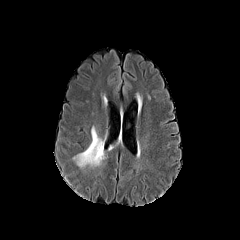
FLAIR MR.
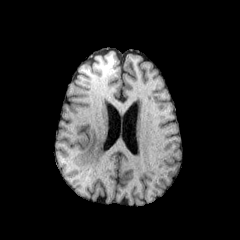
Same slice, T1-weighted magnetic resonance.
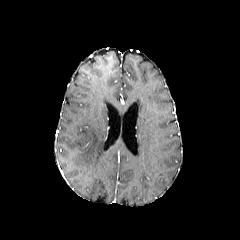
Post-contrast T1-weighted MRI.
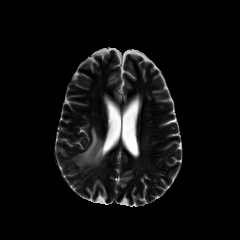
T2-weighted MRI.
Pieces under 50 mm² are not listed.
<segmentation>
  <peritumoral_edema>x1=73 y1=126 x2=107 y2=168</peritumoral_edema>
</segmentation>